FLAIR MR.
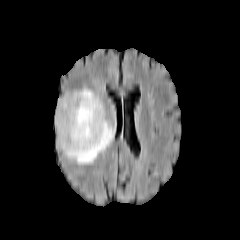
T1-weighted MR.
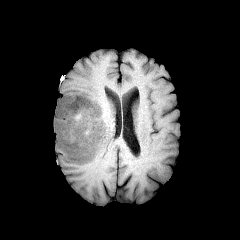
Post-contrast T1-weighted magnetic resonance.
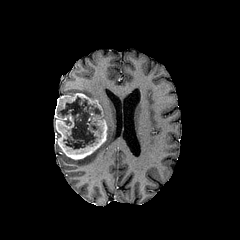
T2-weighted MRI.
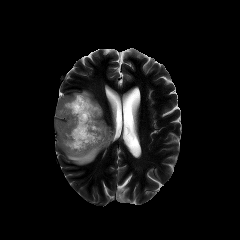
Axial view, Head
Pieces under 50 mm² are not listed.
Segmented structures:
- necrotic tumor core: region(58, 96, 100, 149)
- peritumoral edema: region(66, 88, 115, 165)
- enhancing tumor: region(54, 93, 107, 159)